FLAIR MRI.
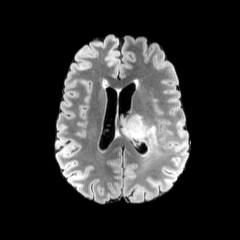
T1-weighted magnetic resonance.
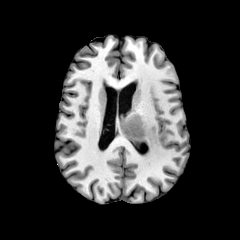
Post-contrast T1-weighted MR image.
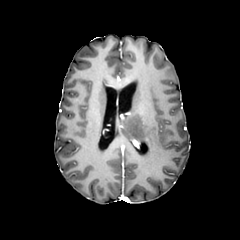
T2-weighted MRI.
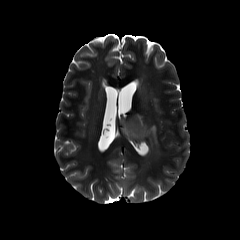
Head, Axial slice, 240x240 px
<segmentation>
  <peritumoral_edema>bbox=[121, 114, 160, 156]</peritumoral_edema>
</segmentation>